FLAIR MR image.
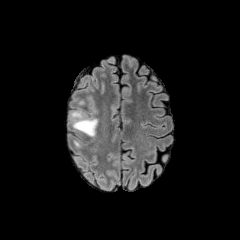
T1-weighted MRI.
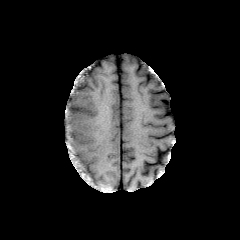
Post-contrast T1-weighted MR image.
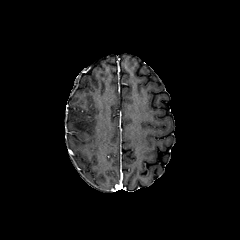
T2-weighted magnetic resonance.
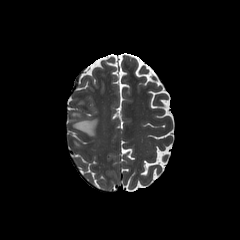
240x240, Axial slice
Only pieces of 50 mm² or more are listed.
- peritumoral edema: x1=70, y1=112, x2=97, y2=136